FLAIR MRI.
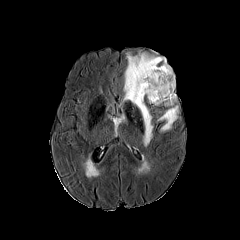
T1-weighted MR image.
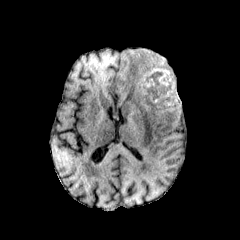
Post-contrast T1-weighted MRI.
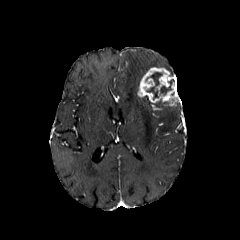
T2-weighted MRI.
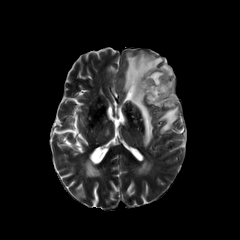
Axial plane | Brain
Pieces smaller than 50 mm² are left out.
{
  "enhancing_tumor": [
    "(137, 67, 178, 106)"
  ],
  "necrotic_tumor_core": [
    "(147, 87, 158, 97)",
    "(160, 79, 174, 94)",
    "(151, 72, 162, 86)"
  ],
  "peritumoral_edema": [
    "(158, 103, 178, 131)",
    "(123, 52, 174, 146)"
  ]
}